FLAIR MR image.
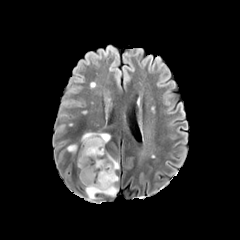
T1-weighted MR.
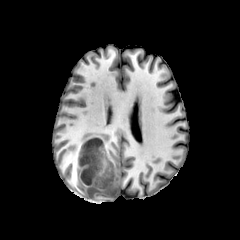
Post-contrast T1-weighted MRI.
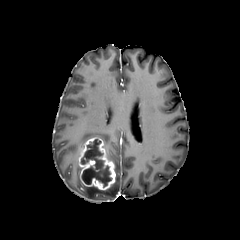
T2-weighted MRI.
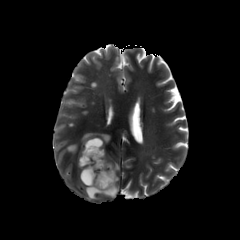
240x240.
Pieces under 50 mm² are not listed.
enhancing tumor: <box>78,137,115,190</box> | necrotic tumor core: <box>81,139,111,186</box> | peritumoral edema: <box>107,153,119,171</box>, <box>67,144,77,153</box>, <box>81,132,110,146</box>, <box>85,175,118,199</box>